Image width 240 mm. Slice 66 of 155.
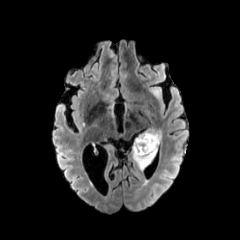
FLAIR MR image.
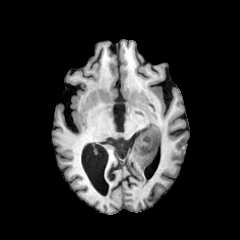
Same slice, T1-weighted magnetic resonance.
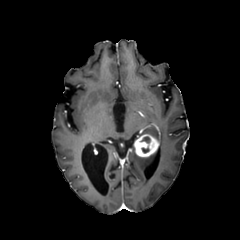
Post-contrast T1-weighted MR image.
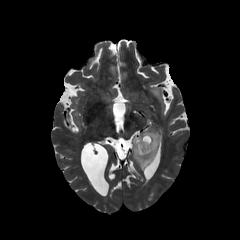
T2-weighted MR image of the same slice.
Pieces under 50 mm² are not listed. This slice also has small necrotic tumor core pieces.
peritumoral edema = bbox=[132, 144, 156, 169]; bbox=[138, 128, 162, 144]
enhancing tumor = bbox=[134, 133, 159, 157]